FLAIR MR.
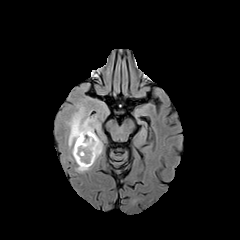
T1-weighted MRI.
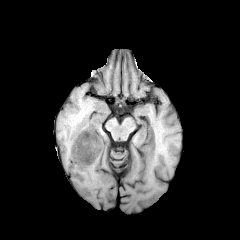
Post-contrast T1-weighted MR image.
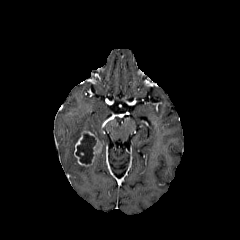
T2-weighted MRI.
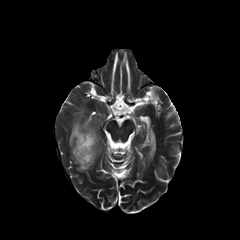
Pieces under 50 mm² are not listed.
necrotic tumor core: (x1=75, y1=133, x2=96, y2=164)
enhancing tumor: (x1=74, y1=131, x2=101, y2=166)
peritumoral edema: (x1=65, y1=82, x2=109, y2=165), (x1=74, y1=163, x2=94, y2=174)